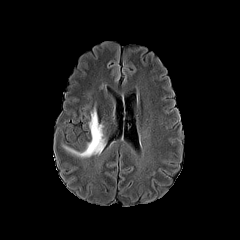
FLAIR MR image.
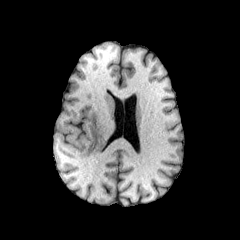
T1-weighted MR image of the same slice.
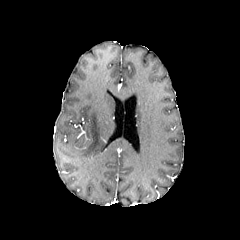
Post-contrast T1-weighted magnetic resonance.
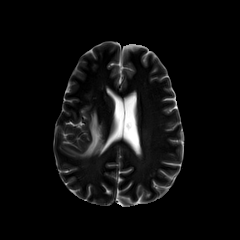
T2-weighted MRI.
Axial slice; 240x240 px
<segmentation>
  <peritumoral_edema>region(65, 107, 105, 157)</peritumoral_edema>
</segmentation>